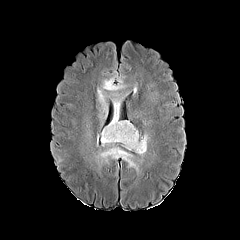
FLAIR MRI.
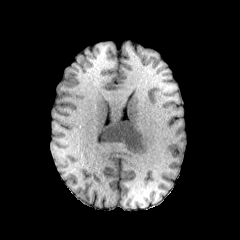
T1-weighted magnetic resonance of the same slice.
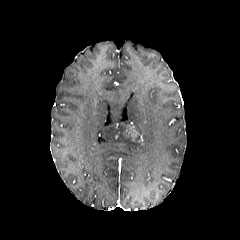
Same slice, post-contrast T1-weighted MRI.
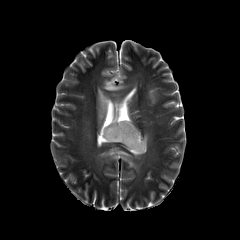
Same slice, T2-weighted MR image.
Axial slice. 240x240 px. Head.
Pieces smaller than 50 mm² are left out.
Findings:
* peritumoral edema: x1=97 y1=78 x2=125 y2=119, x1=99 y1=147 x2=137 y2=168, x1=101 y1=93 x2=148 y2=155
* enhancing tumor: x1=126 y1=125 x2=137 y2=140